Brain; Image width 240 mm; Axial view; Slice 94/155
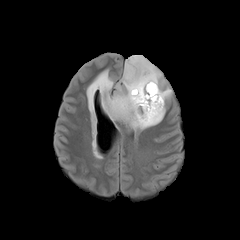
FLAIR MR.
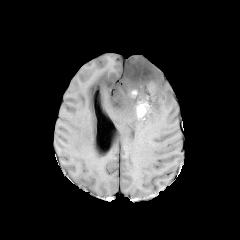
Same slice, T1-weighted MR.
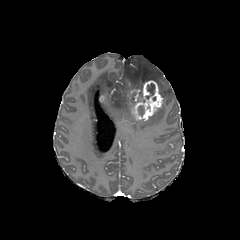
Same slice, post-contrast T1-weighted magnetic resonance.
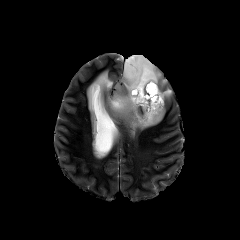
Same slice, T2-weighted MR.
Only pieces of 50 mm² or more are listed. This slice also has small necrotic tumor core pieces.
enhancing tumor: box=[129, 80, 163, 121] | peritumoral edema: box=[87, 55, 171, 130]